240x240 px; Head
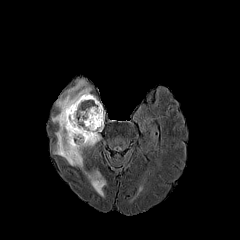
FLAIR MR.
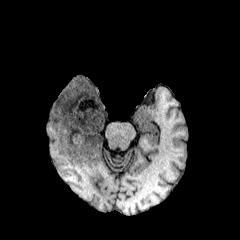
Same slice, T1-weighted MRI.
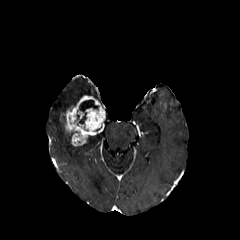
Same slice, post-contrast T1-weighted MR image.
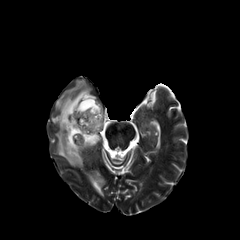
T2-weighted MR image.
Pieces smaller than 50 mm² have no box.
2 peritumoral edema regions are bounded by x1=84, y1=170, x2=105, y2=196; x1=52, y1=79, x2=100, y2=170. The largest necrotic tumor core region is at x1=79, y1=100, x2=98, y2=111. The enhancing tumor is at x1=60, y1=95, x2=105, y2=146.